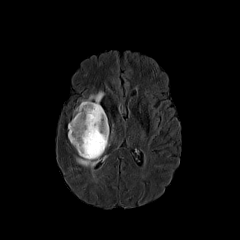
FLAIR MRI.
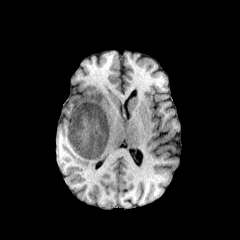
T1-weighted MRI.
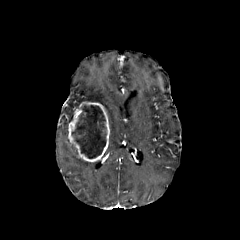
Same slice, post-contrast T1-weighted MR.
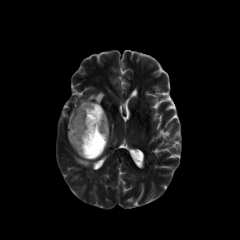
Same slice, T2-weighted MR image.
Brain
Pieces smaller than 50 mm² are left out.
Segmented structures:
- necrotic tumor core: 72, 105, 106, 158
- enhancing tumor: 68, 101, 109, 162
- peritumoral edema: 76, 157, 98, 169; 81, 91, 104, 102